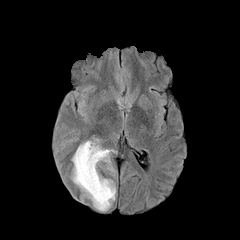
FLAIR MR image.
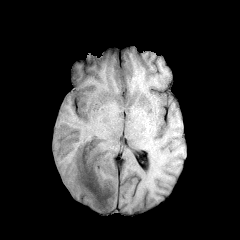
T1-weighted MRI.
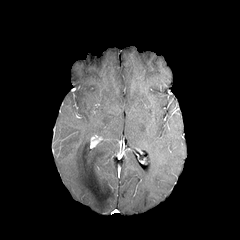
Post-contrast T1-weighted MR.
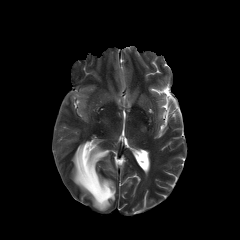
T2-weighted MR image.
Brain.
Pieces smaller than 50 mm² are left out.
Annotated regions:
• peritumoral edema: (x1=71, y1=141, x2=115, y2=211)